240x240 px, Brain, Slice 115 of 155
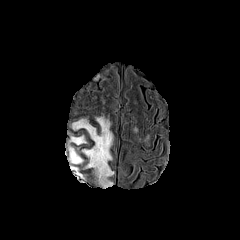
FLAIR MR image.
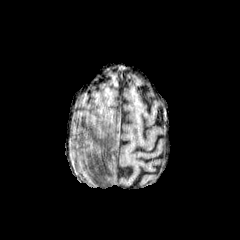
T1-weighted magnetic resonance.
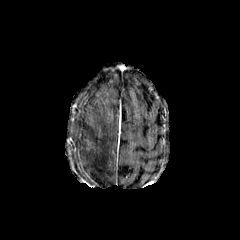
Post-contrast T1-weighted magnetic resonance.
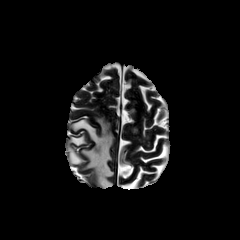
T2-weighted MR.
Annotated regions:
- peritumoral edema: <bbox>72, 136, 86, 144</bbox>, <bbox>71, 118, 113, 186</bbox>, <bbox>68, 147, 82, 163</bbox>